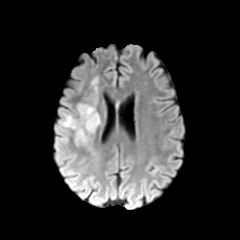
FLAIR MR image.
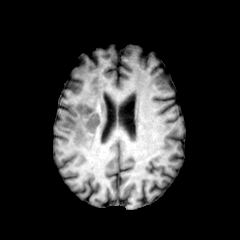
T1-weighted MR image of the same slice.
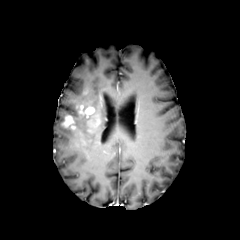
Post-contrast T1-weighted magnetic resonance of the same slice.
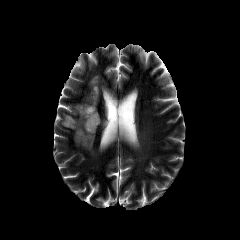
T2-weighted MR image of the same slice.
Brain | Axial view
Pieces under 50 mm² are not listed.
2 enhancing tumor regions appear at (x1=77, y1=105, x2=99, y2=131), (x1=62, y1=115, x2=75, y2=128). The 2 largest peritumoral edema regions appear at (x1=73, y1=119, x2=87, y2=143), (x1=80, y1=114, x2=95, y2=133).